Head. Image width 240 mm. 240x240 px. Axial plane.
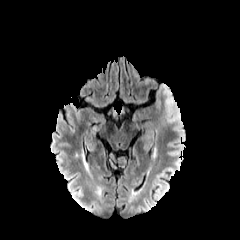
FLAIR MR image.
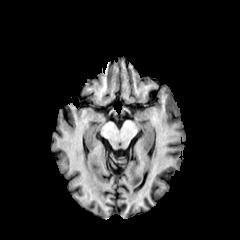
Same slice, T1-weighted MRI.
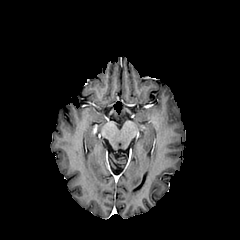
Post-contrast T1-weighted MRI of the same slice.
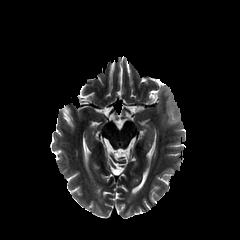
Same slice, T2-weighted MRI.
<segmentation>
  <peritumoral_edema>(x1=157, y1=85, x2=179, y2=125)</peritumoral_edema>
</segmentation>